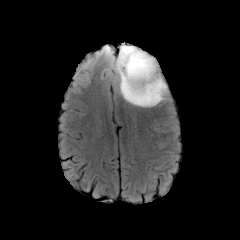
FLAIR MRI.
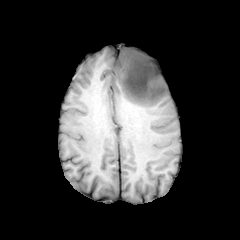
T1-weighted magnetic resonance of the same slice.
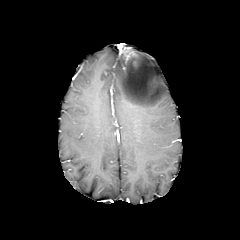
Post-contrast T1-weighted MR of the same slice.
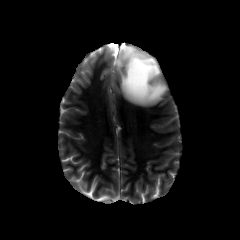
T2-weighted magnetic resonance.
Axial plane. Image size 240x240. Head.
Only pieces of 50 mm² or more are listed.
enhancing tumor — (x1=119, y1=43, x2=137, y2=62)
peritumoral edema — (x1=111, y1=45, x2=167, y2=106)